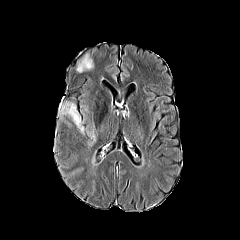
FLAIR MR.
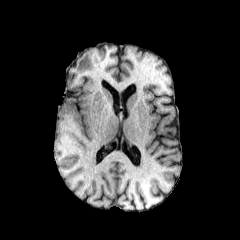
T1-weighted MR of the same slice.
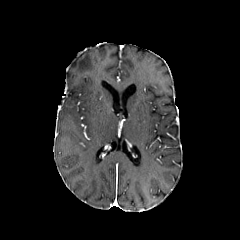
Post-contrast T1-weighted magnetic resonance.
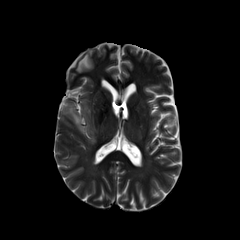
T2-weighted magnetic resonance of the same slice.
Head
2 peritumoral edema regions are located at bbox(76, 47, 96, 73); bbox(60, 102, 96, 146).